Head, 240x240
FLAIR magnetic resonance.
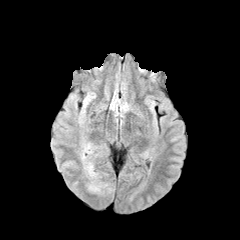
T1-weighted magnetic resonance.
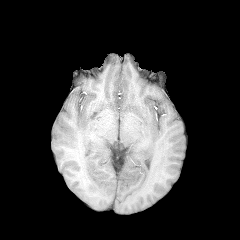
Post-contrast T1-weighted magnetic resonance.
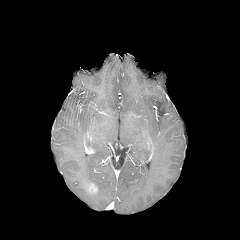
T2-weighted MR image.
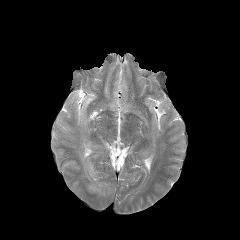
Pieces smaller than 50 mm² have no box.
The largest peritumoral edema region is located at (81,141,107,193). The enhancing tumor is located at (88,183,97,192).